Image covers 240 mm x 240 mm | Axial plane
FLAIR MR image.
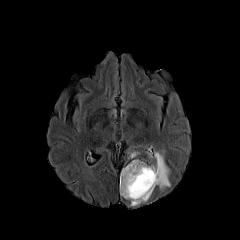
T1-weighted MR.
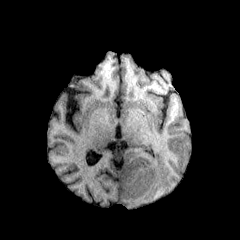
Post-contrast T1-weighted MR image.
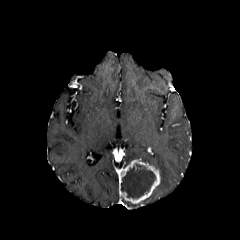
T2-weighted magnetic resonance.
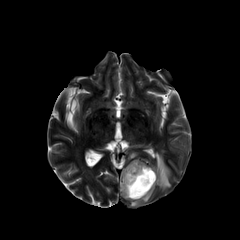
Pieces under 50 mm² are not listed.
peritumoral edema — <box>149,150,170,190</box>, <box>128,151,138,158</box>
enhancing tumor — <box>119,159,160,203</box>
necrotic tumor core — <box>121,164,155,198</box>